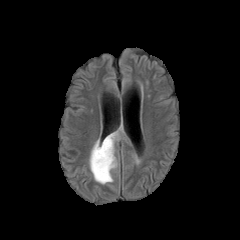
FLAIR MR.
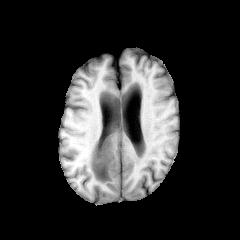
Same slice, T1-weighted MR.
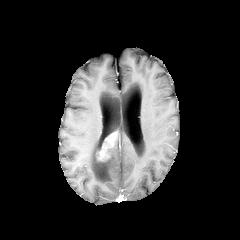
Post-contrast T1-weighted MRI.
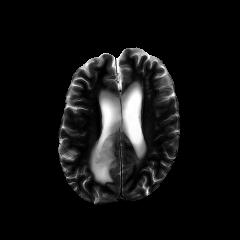
T2-weighted MRI.
Axial plane; 240x240 px
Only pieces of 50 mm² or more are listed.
peritumoral_edema:
  - [89,123,123,184]
enhancing_tumor:
  - [97,132,117,160]